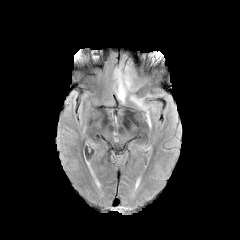
FLAIR MR.
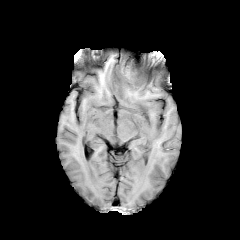
T1-weighted MR image.
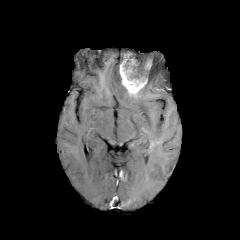
Post-contrast T1-weighted magnetic resonance of the same slice.
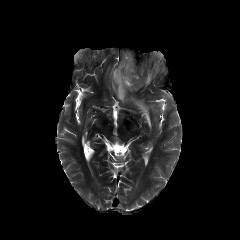
T2-weighted magnetic resonance.
Brain
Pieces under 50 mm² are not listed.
<segmentation>
  <peritumoral_edema>x1=129 y1=69 x2=167 y2=127, x1=113 y1=67 x2=128 y2=103</peritumoral_edema>
  <necrotic_tumor_core>x1=125 y1=53 x2=151 y2=78</necrotic_tumor_core>
  <enhancing_tumor>x1=119 y1=54 x2=147 y2=96</enhancing_tumor>
</segmentation>